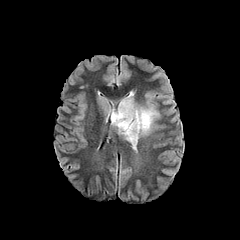
FLAIR MR.
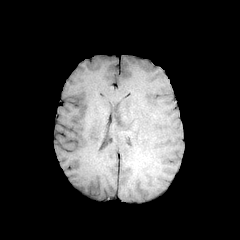
Same slice, T1-weighted MRI.
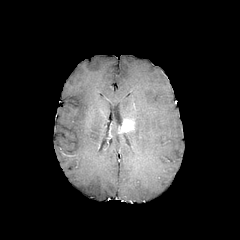
Post-contrast T1-weighted MR of the same slice.
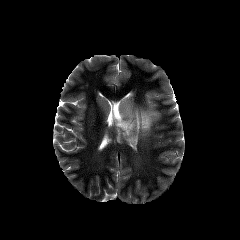
T2-weighted MR image of the same slice.
Axial plane.
<segmentation>
  <enhancing_tumor>(120, 118, 134, 132)</enhancing_tumor>
  <peritumoral_edema>(111, 92, 156, 149)</peritumoral_edema>
</segmentation>